FLAIR MRI.
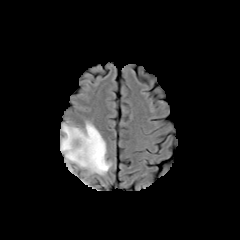
T1-weighted MR image.
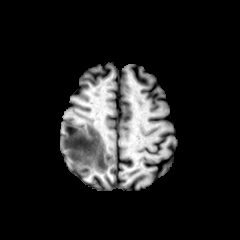
Post-contrast T1-weighted MRI.
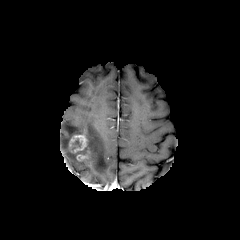
T2-weighted MRI.
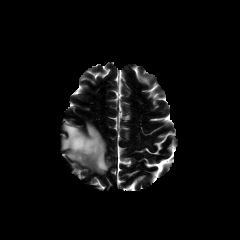
Brain
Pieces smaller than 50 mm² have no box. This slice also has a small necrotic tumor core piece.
enhancing tumor = {"x1": 67, "y1": 134, "x2": 89, "y2": 160}
peritumoral edema = {"x1": 61, "y1": 121, "x2": 111, "y2": 174}